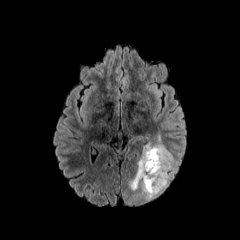
FLAIR MRI.
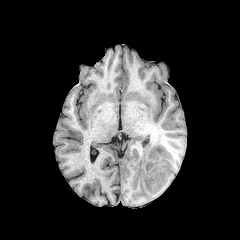
Same slice, T1-weighted MR.
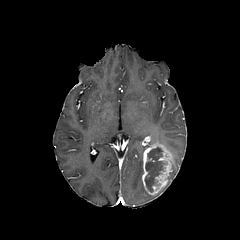
Post-contrast T1-weighted MR image.
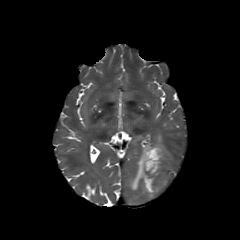
T2-weighted MR of the same slice.
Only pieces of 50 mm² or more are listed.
2 peritumoral edema regions appear at l=169, t=157, r=177, b=177; l=129, t=135, r=164, b=199. The largest enhancing tumor region is bounded by l=142, t=143, r=173, b=194. The necrotic tumor core is located at l=144, t=147, r=166, b=192.